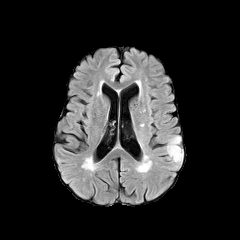
FLAIR MR.
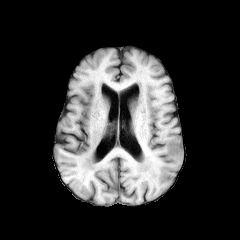
Same slice, T1-weighted MR image.
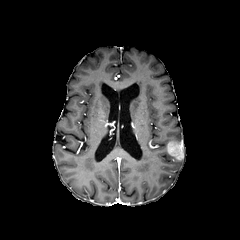
Post-contrast T1-weighted magnetic resonance of the same slice.
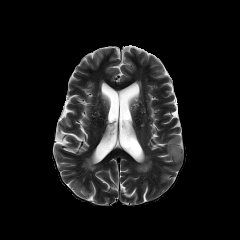
T2-weighted MR of the same slice.
Head. Image size 240x240.
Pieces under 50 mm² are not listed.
<segmentation>
  <enhancing_tumor>x1=167, y1=141, x2=183, y2=160</enhancing_tumor>
  <peritumoral_edema>x1=167, y1=151, x2=182, y2=163; x1=168, y1=136, x2=181, y2=142</peritumoral_edema>
</segmentation>